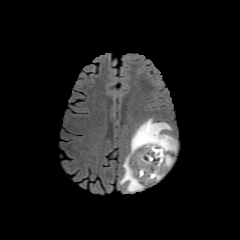
FLAIR magnetic resonance.
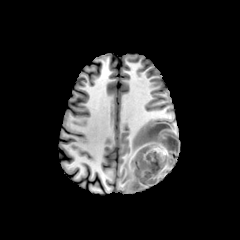
T1-weighted magnetic resonance.
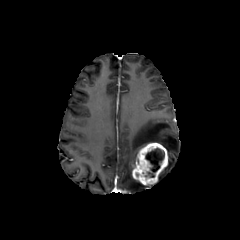
Same slice, post-contrast T1-weighted MR image.
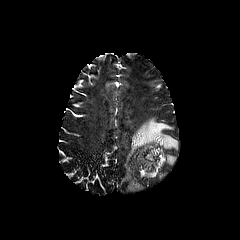
T2-weighted MR image.
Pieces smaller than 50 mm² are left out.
* necrotic tumor core: 145 148 164 177
* peritumoral edema: 167 154 173 166, 120 118 177 191
* enhancing tumor: 132 142 168 185